Slice index 79. Brain. Image width 240 mm, 1.00 mm slice spacing. Image size 240x240.
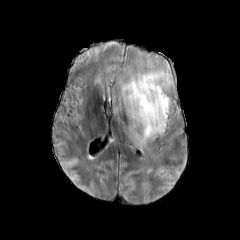
FLAIR MR.
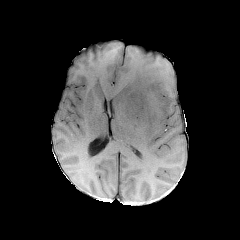
T1-weighted magnetic resonance.
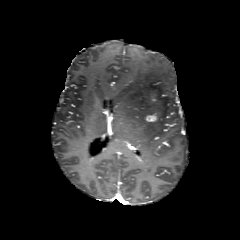
Same slice, post-contrast T1-weighted magnetic resonance.
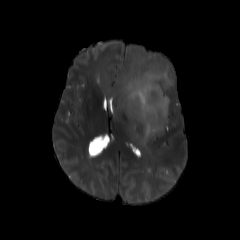
T2-weighted MRI.
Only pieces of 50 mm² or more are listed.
The largest enhancing tumor region is located at [x1=146, y1=114, x2=157, y2=121]. The peritumoral edema appears at [x1=116, y1=65, x2=173, y2=145].